Slice 88 of 155, Image size 240x240, Image width 240 mm, 1.00 mm slice spacing, Axial plane, Head
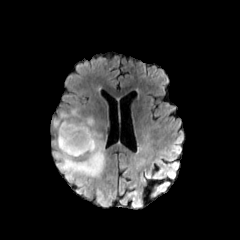
FLAIR MR image.
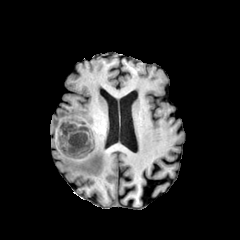
T1-weighted MR.
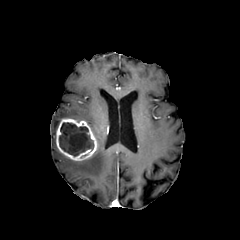
Post-contrast T1-weighted MR.
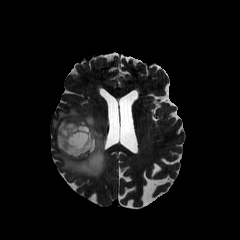
Same slice, T2-weighted MR.
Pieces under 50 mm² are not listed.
necrotic_tumor_core:
  - box(59, 122, 93, 156)
peritumoral_edema:
  - box(52, 108, 105, 200)
enhancing_tumor:
  - box(56, 118, 98, 160)